Axial view. Slice 60 of 155.
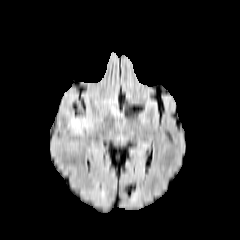
FLAIR magnetic resonance.
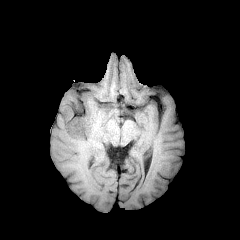
Same slice, T1-weighted MRI.
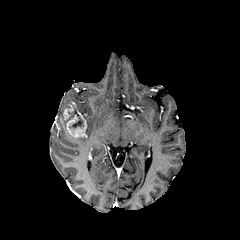
Post-contrast T1-weighted magnetic resonance of the same slice.
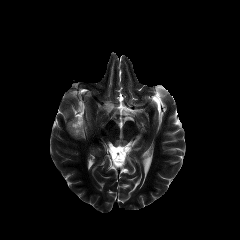
T2-weighted MRI.
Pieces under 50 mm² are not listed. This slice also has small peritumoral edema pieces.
Findings:
- necrotic tumor core: box=[69, 117, 83, 127]
- enhancing tumor: box=[66, 115, 86, 137]; box=[63, 109, 72, 119]